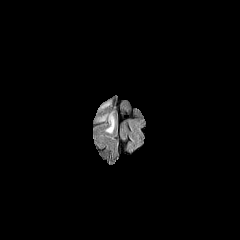
FLAIR magnetic resonance.
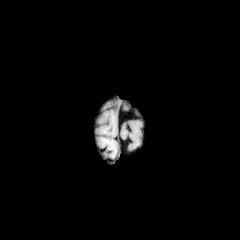
T1-weighted MR.
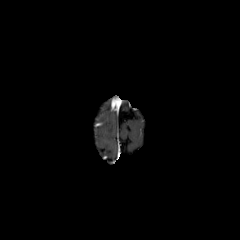
Post-contrast T1-weighted MR of the same slice.
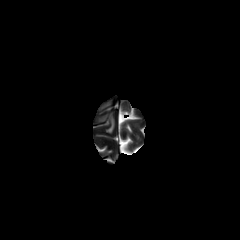
T2-weighted magnetic resonance.
Axial view; Head
peritumoral edema = 106, 116, 114, 132